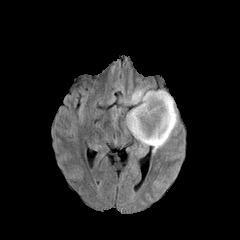
FLAIR MR image.
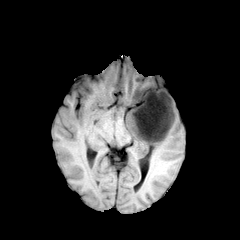
T1-weighted magnetic resonance of the same slice.
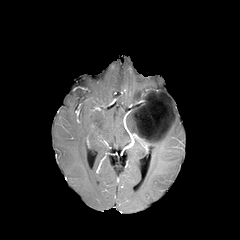
Post-contrast T1-weighted MRI of the same slice.
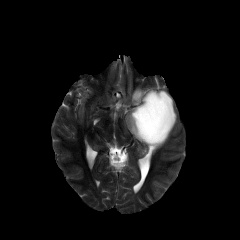
T2-weighted magnetic resonance of the same slice.
Head
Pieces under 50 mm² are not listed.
{"enhancing_tumor": ["region(132, 91, 174, 142)"], "peritumoral_edema": ["region(129, 88, 145, 104)", "region(126, 95, 177, 148)"], "necrotic_tumor_core": ["region(133, 93, 173, 140)"]}